240x240 | Axial slice | Slice index 105 | Brain
FLAIR magnetic resonance.
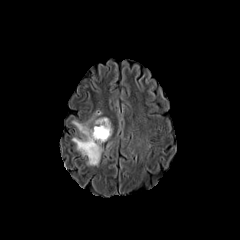
T1-weighted MRI.
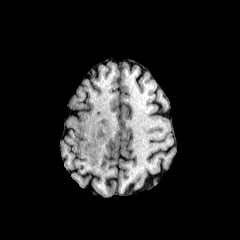
Post-contrast T1-weighted MR.
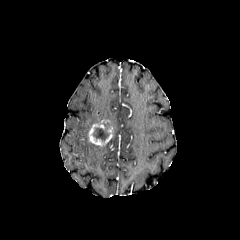
T2-weighted MR image.
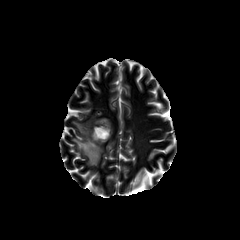
The necrotic tumor core appears at rect(93, 122, 109, 140). The peritumoral edema lies within rect(72, 111, 108, 165). The enhancing tumor is located at rect(88, 119, 113, 146).